Slice 40/155, Head
FLAIR MRI.
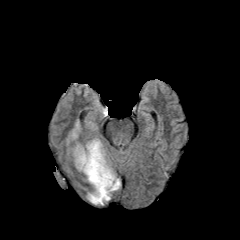
T1-weighted MR.
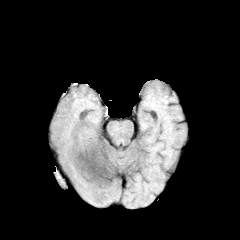
Post-contrast T1-weighted magnetic resonance.
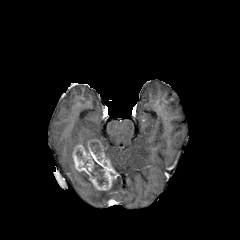
T2-weighted magnetic resonance.
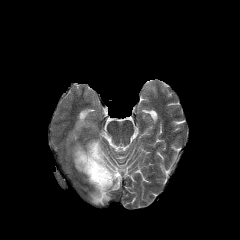
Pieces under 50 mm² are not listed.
The 2 largest peritumoral edema regions are located at 87, 178, 120, 204; 67, 120, 80, 144. The 2 largest necrotic tumor core regions are bounded by 90, 142, 99, 153; 94, 161, 104, 185. The enhancing tumor is located at 72, 140, 117, 190.